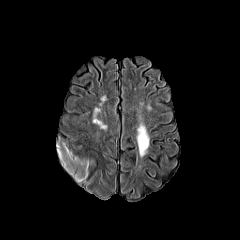
FLAIR magnetic resonance.
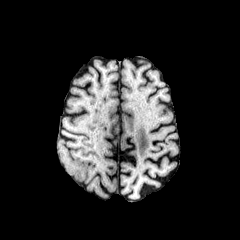
T1-weighted MRI.
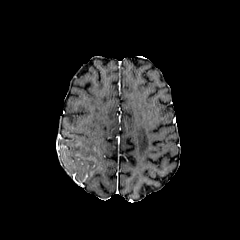
Same slice, post-contrast T1-weighted MRI.
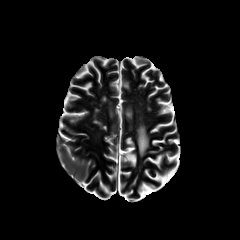
T2-weighted magnetic resonance.
240x240; Head
The peritumoral edema appears at left=57, top=144, right=90, bottom=181.